Slice index 59. Brain. Axial slice.
FLAIR MRI.
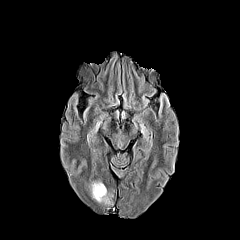
T1-weighted MRI.
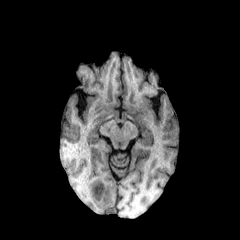
Post-contrast T1-weighted MRI.
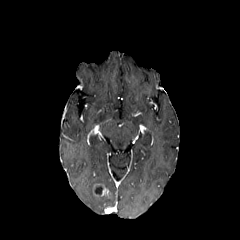
T2-weighted magnetic resonance.
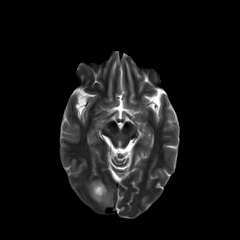
peritumoral edema at box(89, 181, 111, 204)
necrotic tumor core at box(95, 186, 102, 194)
enhancing tumor at box(92, 183, 111, 198)